FLAIR MRI.
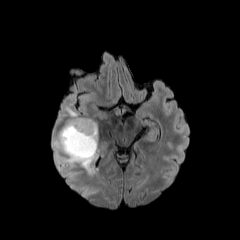
T1-weighted MR image.
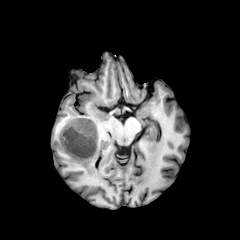
Post-contrast T1-weighted MR.
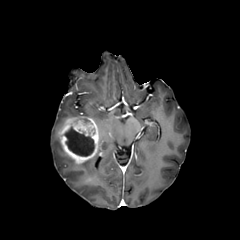
T2-weighted MRI.
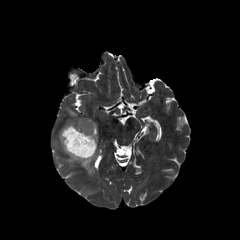
Head. Axial slice. 240x240 px.
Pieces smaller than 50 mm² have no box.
4 peritumoral edema regions are located at [66, 107, 77, 117], [53, 135, 65, 154], [65, 156, 75, 165], [79, 156, 95, 173]. The largest necrotic tumor core region appears at [65, 127, 94, 156]. The enhancing tumor is at [58, 117, 99, 164].